Brain. 240x240.
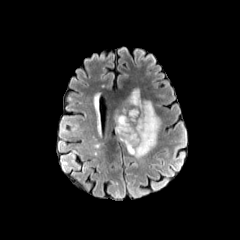
FLAIR magnetic resonance.
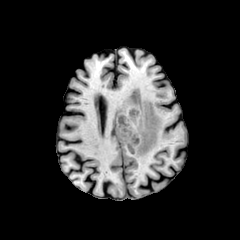
T1-weighted MR.
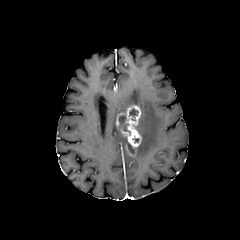
Same slice, post-contrast T1-weighted magnetic resonance.
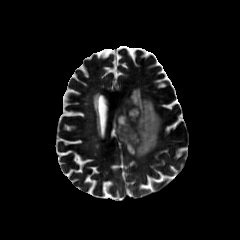
T2-weighted MR image.
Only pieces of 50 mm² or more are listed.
Annotated regions:
• peritumoral edema: l=115, t=88, r=161, b=157
• enhancing tumor: l=116, t=105, r=141, b=155
• necrotic tumor core: l=129, t=109, r=138, b=115